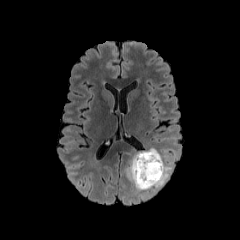
FLAIR MR.
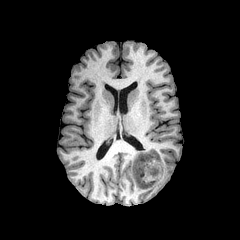
Same slice, T1-weighted MRI.
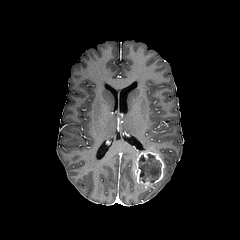
Post-contrast T1-weighted MR image.
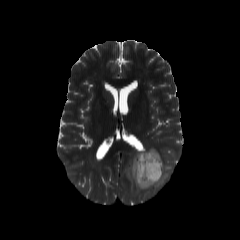
Same slice, T2-weighted magnetic resonance.
Axial plane, 240x240 px
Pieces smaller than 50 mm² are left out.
{"necrotic_tumor_core": ["138, 154, 161, 183"], "peritumoral_edema": ["125, 149, 179, 198"], "enhancing_tumor": ["132, 150, 165, 188"]}